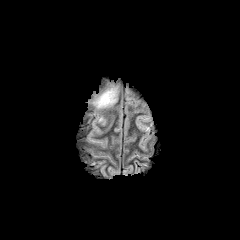
FLAIR magnetic resonance.
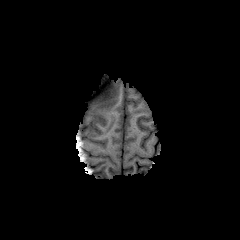
T1-weighted MR of the same slice.
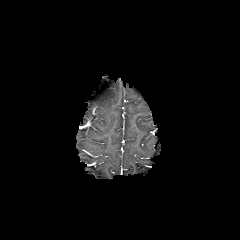
Post-contrast T1-weighted MR of the same slice.
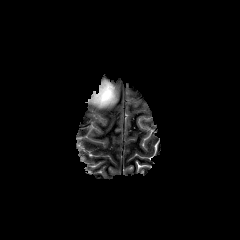
Same slice, T2-weighted MR.
Head, Axial slice
peritumoral edema: bounding box box(93, 84, 117, 107)